Head; Axial slice
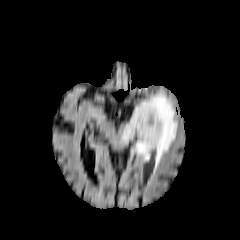
FLAIR MR.
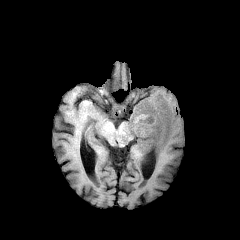
T1-weighted MRI of the same slice.
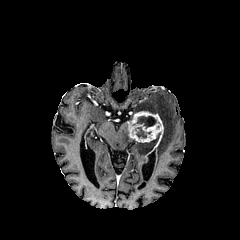
Post-contrast T1-weighted MR of the same slice.
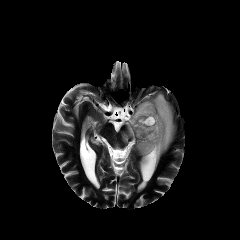
T2-weighted magnetic resonance.
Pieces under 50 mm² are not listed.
The 2 largest necrotic tumor core regions appear at bbox(136, 127, 146, 137); bbox(137, 116, 156, 128). The 3 largest peritumoral edema regions are bounded by bbox(134, 92, 176, 165); bbox(121, 124, 134, 142); bbox(132, 140, 157, 158). The enhancing tumor appears at bbox(128, 111, 163, 147).